FLAIR magnetic resonance.
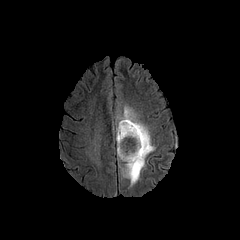
T1-weighted MRI.
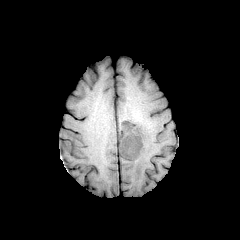
Post-contrast T1-weighted magnetic resonance.
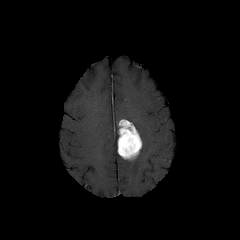
T2-weighted MRI.
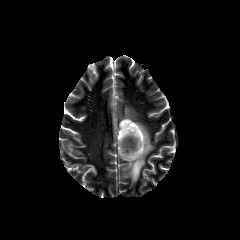
Brain. Axial slice.
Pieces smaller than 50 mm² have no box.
enhancing tumor = 117:119:142:160
peritumoral edema = 117:106:154:185